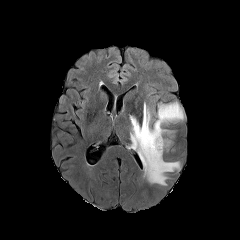
FLAIR MRI.
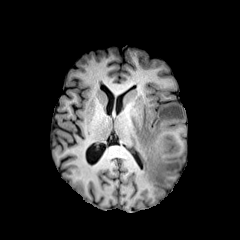
Same slice, T1-weighted MR.
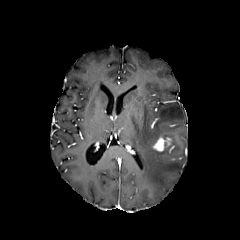
Post-contrast T1-weighted MR of the same slice.
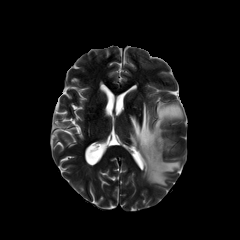
T2-weighted MRI.
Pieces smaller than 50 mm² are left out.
enhancing tumor at [153, 137, 170, 151]
peritumoral edema at [130, 102, 183, 185]